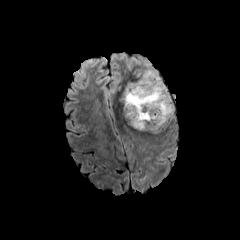
FLAIR MRI.
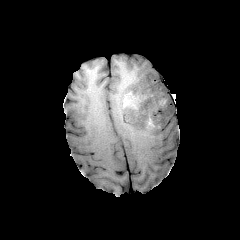
T1-weighted MR of the same slice.
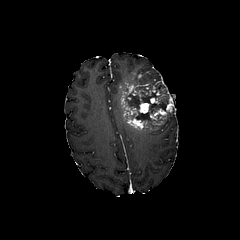
Post-contrast T1-weighted MR.
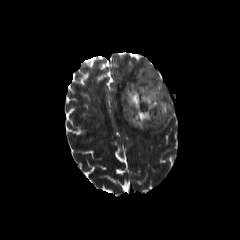
Same slice, T2-weighted MR.
Axial slice
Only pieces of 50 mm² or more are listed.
enhancing tumor: 150:97:160:103, 120:70:169:131, 162:83:173:112 | necrotic tumor core: 135:76:168:121, 125:90:140:109 | peritumoral edema: 143:62:159:79